Slice index 93; Image width 240 mm
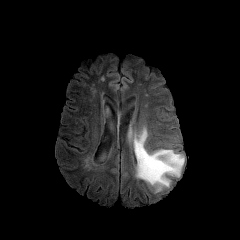
FLAIR MRI.
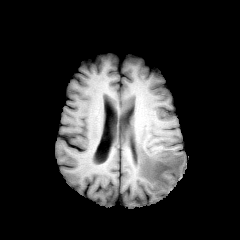
T1-weighted MRI.
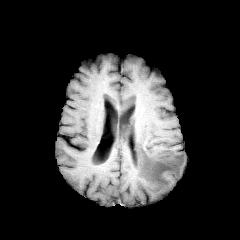
Same slice, post-contrast T1-weighted MR image.
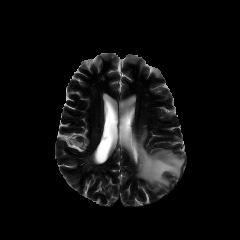
Same slice, T2-weighted MR image.
The peritumoral edema is located at left=134, top=129, right=184, bottom=191.